240x240 px. Head. Slice 72/155.
FLAIR MRI.
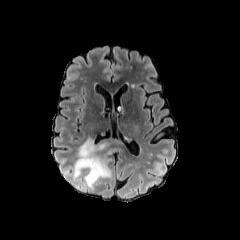
T1-weighted MRI.
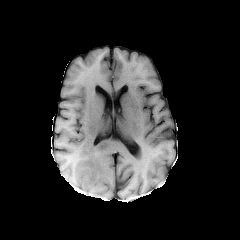
Post-contrast T1-weighted MR image.
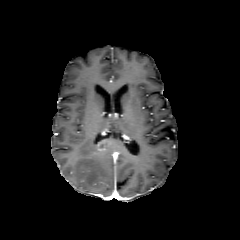
T2-weighted MRI.
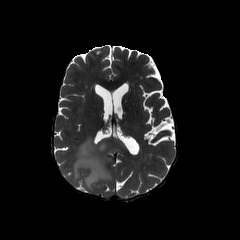
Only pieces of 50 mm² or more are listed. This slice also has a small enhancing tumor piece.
The peritumoral edema is at box=[73, 137, 122, 188].